240x240 | Head | Axial view
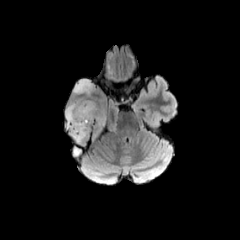
FLAIR MR image.
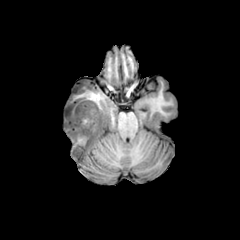
T1-weighted magnetic resonance.
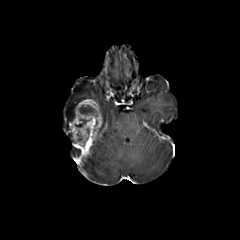
Post-contrast T1-weighted MRI.
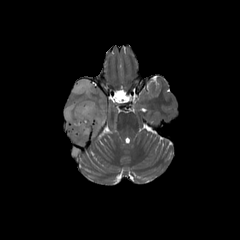
T2-weighted MRI.
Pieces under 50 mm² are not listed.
The enhancing tumor lies within (x1=69, y1=99, x2=102, y2=148). The 2 largest peritumoral edema regions appear at (x1=73, y1=79, x2=93, y2=95), (x1=65, y1=100, x2=81, y2=129). The largest necrotic tumor core region is located at (x1=79, y1=106, x2=93, y2=114).